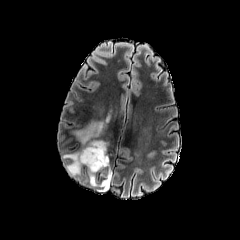
FLAIR MRI.
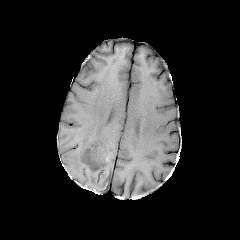
T1-weighted MR.
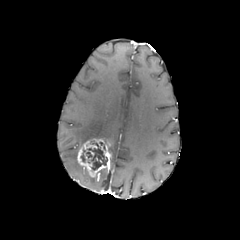
Post-contrast T1-weighted MRI of the same slice.
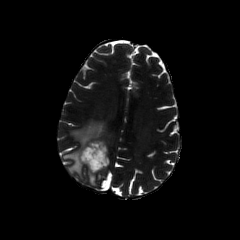
T2-weighted MR image.
Axial slice | Head
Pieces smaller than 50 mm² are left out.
Segmented structures:
* enhancing tumor: x1=77, y1=138, x2=110, y2=177
* necrotic tumor core: x1=86, y1=143, x2=107, y2=170
* peritumoral edema: x1=89, y1=176, x2=96, y2=185; x1=63, y1=151, x2=82, y2=176; x1=73, y1=122, x2=107, y2=145; x1=101, y1=171, x2=111, y2=188